Image width 240 mm; Slice 109/155; Axial plane; 240x240 px
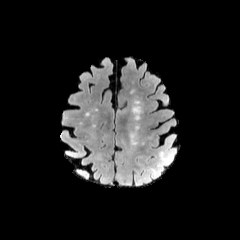
FLAIR MR image.
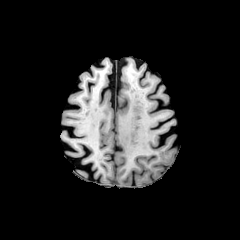
T1-weighted magnetic resonance of the same slice.
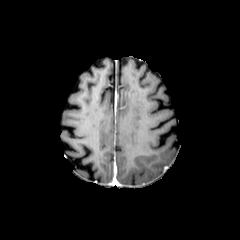
Post-contrast T1-weighted MR.
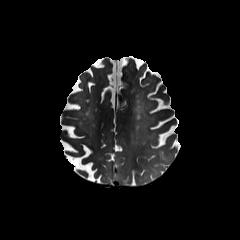
T2-weighted MRI of the same slice.
Segmented structures:
* peritumoral edema: bbox(120, 179, 141, 187)